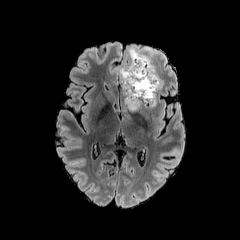
FLAIR MRI.
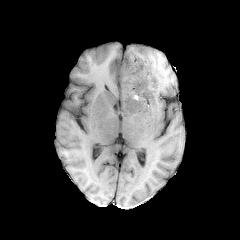
Same slice, T1-weighted MR.
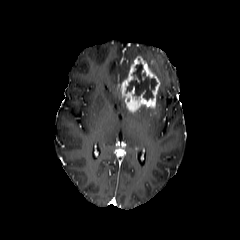
Same slice, post-contrast T1-weighted magnetic resonance.
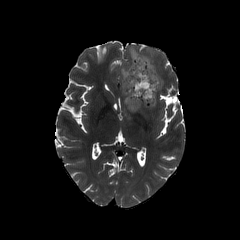
T2-weighted MRI of the same slice.
Axial plane | Head
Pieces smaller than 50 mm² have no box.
necrotic_tumor_core:
  - 126 63 157 99
peritumoral_edema:
  - 119 45 163 91
enhancing_tumor:
  - 121 56 160 112